FLAIR MR.
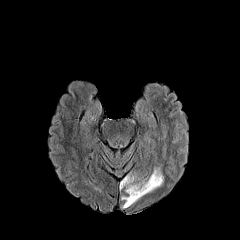
T1-weighted MRI.
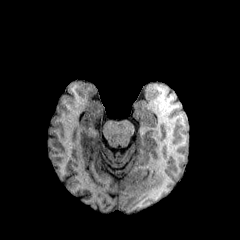
Post-contrast T1-weighted MR image.
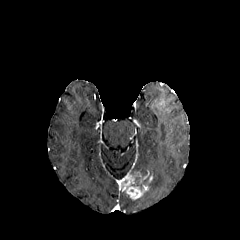
T2-weighted MRI.
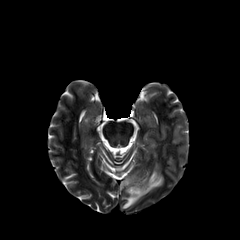
Image size 240x240; Axial plane
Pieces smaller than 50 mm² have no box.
• enhancing tumor: (119,172,153,200)
• peritumoral edema: (121,195,138,208), (143,166,163,195)